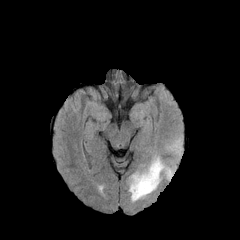
FLAIR magnetic resonance.
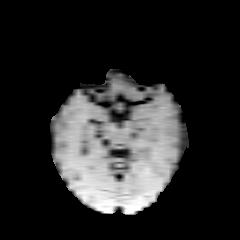
T1-weighted MR image.
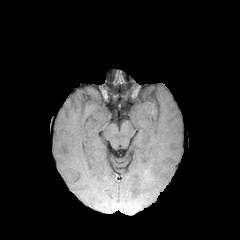
Post-contrast T1-weighted MRI.
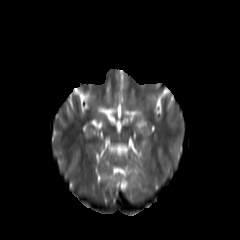
T2-weighted MRI.
2 peritumoral edema regions are located at region(166, 139, 181, 154); region(128, 156, 171, 201).